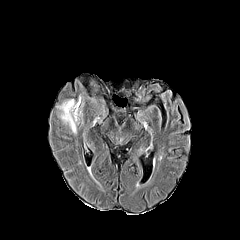
FLAIR MRI.
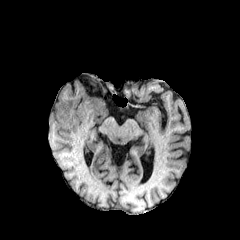
T1-weighted magnetic resonance of the same slice.
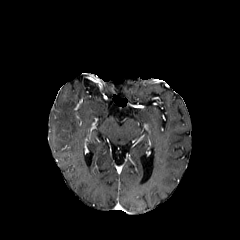
Same slice, post-contrast T1-weighted MR image.
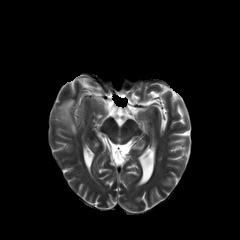
Same slice, T2-weighted MR.
Axial view.
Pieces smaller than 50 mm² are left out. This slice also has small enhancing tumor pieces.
peritumoral edema: <box>58,99,83,134</box>